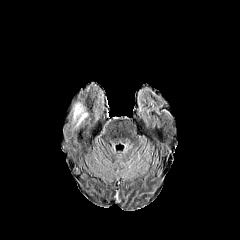
FLAIR MR.
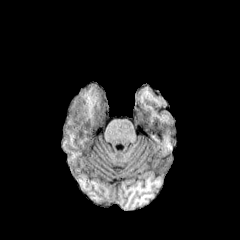
T1-weighted magnetic resonance.
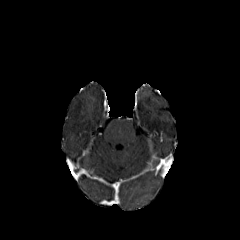
Post-contrast T1-weighted MR image.
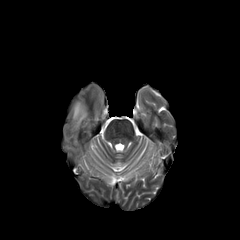
Same slice, T2-weighted MRI.
Image size 240x240
* peritumoral edema: {"x1": 73, "y1": 102, "x2": 87, "y2": 128}